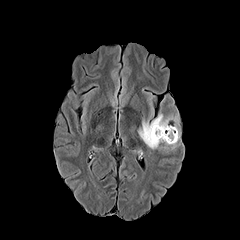
FLAIR magnetic resonance.
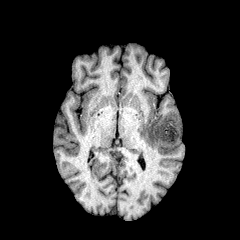
T1-weighted magnetic resonance.
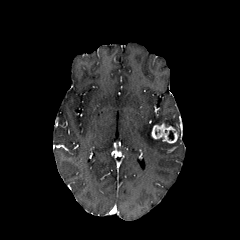
Post-contrast T1-weighted MRI.
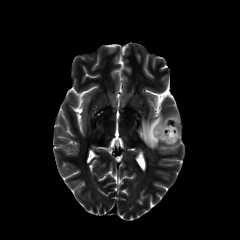
T2-weighted MR of the same slice.
240x240
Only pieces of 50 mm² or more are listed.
necrotic tumor core: bounding box bbox(168, 130, 174, 140)
enhancing tumor: bounding box bbox(151, 123, 178, 143)
peritumoral edema: bounding box bbox(163, 142, 176, 148); bbox(138, 113, 178, 149)